FLAIR MRI.
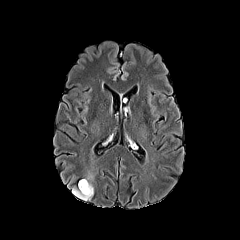
T1-weighted MRI.
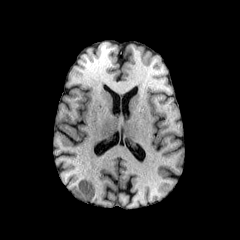
Post-contrast T1-weighted MR image.
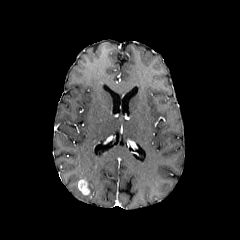
T2-weighted magnetic resonance.
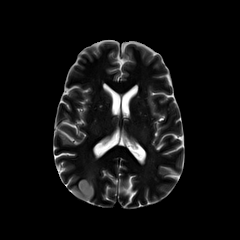
Axial plane
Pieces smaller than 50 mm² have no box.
enhancing tumor: 78:179:89:195 | peritumoral edema: 72:174:93:200